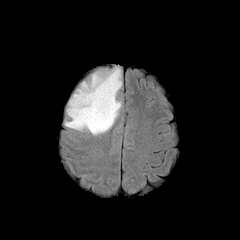
FLAIR magnetic resonance.
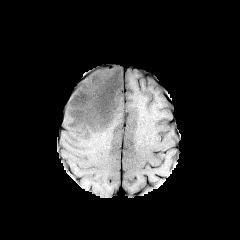
Same slice, T1-weighted magnetic resonance.
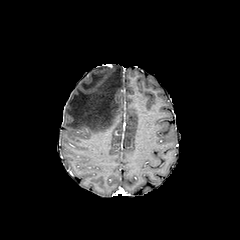
Same slice, post-contrast T1-weighted MRI.
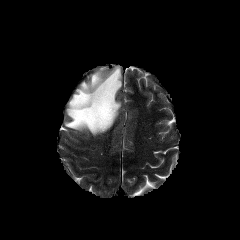
T2-weighted MR of the same slice.
Segmented structures:
• peritumoral edema: rect(65, 66, 122, 135)